Head; Slice 38 of 155; Axial plane; Image covers 240 mm x 240 mm
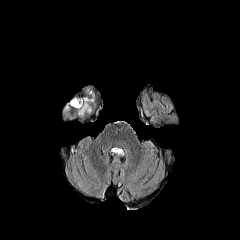
FLAIR MRI.
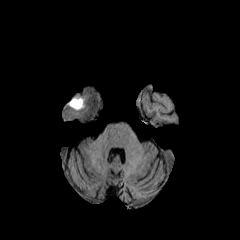
T1-weighted MR image of the same slice.
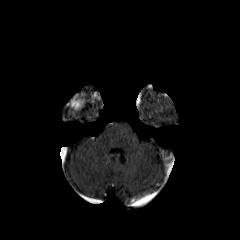
Post-contrast T1-weighted MR.
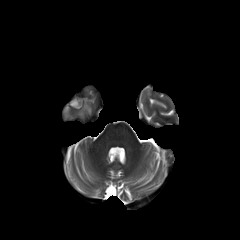
T2-weighted magnetic resonance of the same slice.
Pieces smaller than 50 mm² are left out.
{"necrotic_tumor_core": ["left=70, top=98, right=82, bottom=109"], "enhancing_tumor": ["left=82, top=93, right=96, bottom=105"], "peritumoral_edema": ["left=78, top=101, right=91, bottom=115"]}